FLAIR MR.
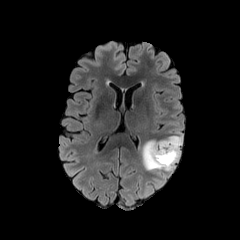
T1-weighted MR.
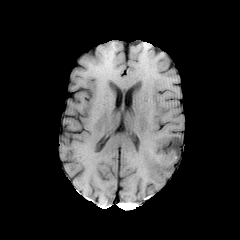
Post-contrast T1-weighted MRI.
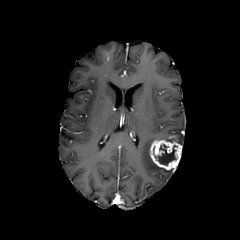
T2-weighted MR image.
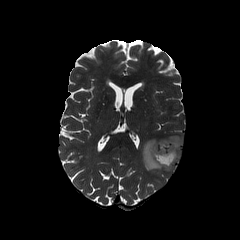
Head. Axial plane.
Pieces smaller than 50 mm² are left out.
The 2 largest peritumoral edema regions are located at <box>173,134,182,145</box>, <box>142,137,174,174</box>. The enhancing tumor is at <box>149,136,181,170</box>. The largest necrotic tumor core region appears at <box>158,145,177,164</box>.